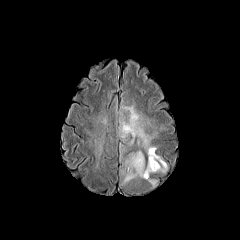
FLAIR MRI.
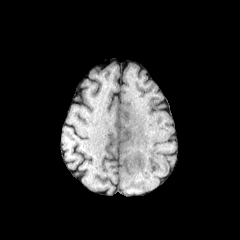
T1-weighted MR.
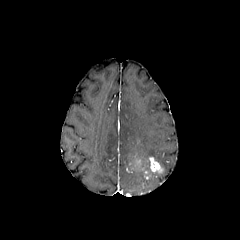
Post-contrast T1-weighted magnetic resonance.
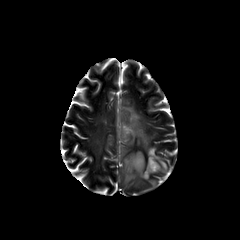
Same slice, T2-weighted MRI.
Axial view, Image size 240x240, Brain
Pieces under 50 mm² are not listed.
peritumoral edema at x1=94, y1=111, x2=107, y2=125; x1=88, y1=129, x2=106, y2=157; x1=148, y1=177, x2=157, y2=186; x1=118, y1=98, x2=168, y2=185
enhancing tumor at x1=149, y1=157, x2=163, y2=172; x1=128, y1=155, x2=144, y2=171